FLAIR MR.
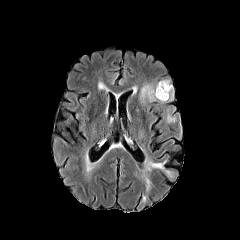
T1-weighted magnetic resonance.
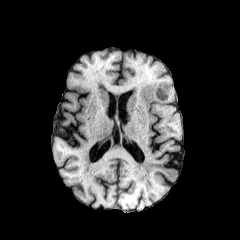
Post-contrast T1-weighted MR image.
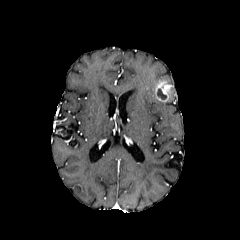
T2-weighted magnetic resonance.
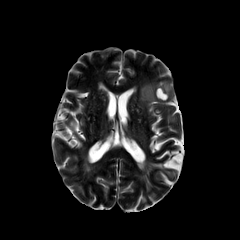
Image size 240x240; Axial slice
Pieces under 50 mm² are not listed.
The 2 largest peritumoral edema regions are bounded by (x1=140, y1=84, x2=158, y2=102), (x1=166, y1=114, x2=175, y2=120). The necrotic tumor core is located at (x1=157, y1=89, x2=166, y2=99). The enhancing tumor is located at (x1=154, y1=81, x2=172, y2=101).